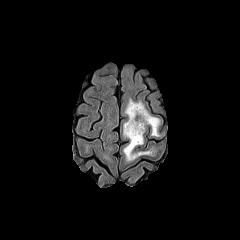
FLAIR MR image.
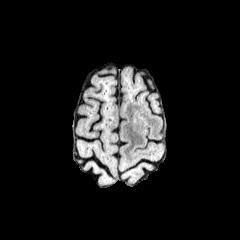
Same slice, T1-weighted MR.
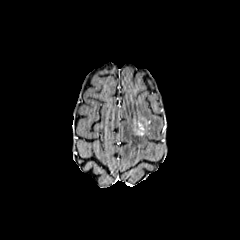
Post-contrast T1-weighted MR image.
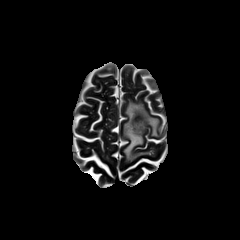
T2-weighted MR.
Axial plane
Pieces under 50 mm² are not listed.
<segmentation>
  <enhancing_tumor>(133,120,144,135)</enhancing_tumor>
  <peritumoral_edema>(123,99,159,161)</peritumoral_edema>
</segmentation>